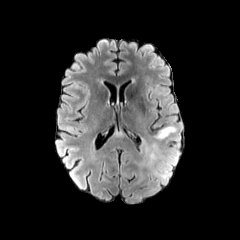
FLAIR MRI.
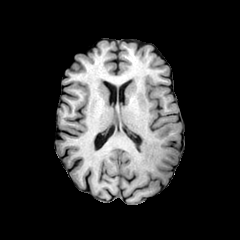
T1-weighted MR image.
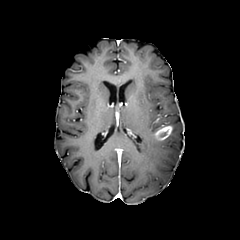
Post-contrast T1-weighted MR.
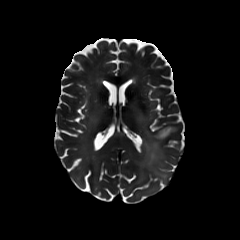
T2-weighted MRI.
Axial slice
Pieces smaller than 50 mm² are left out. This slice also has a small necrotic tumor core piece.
peritumoral edema: {"x1": 144, "y1": 143, "x2": 166, "y2": 179} | enhancing tumor: {"x1": 155, "y1": 125, "x2": 172, "y2": 140}